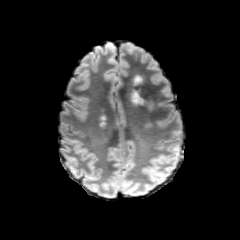
FLAIR magnetic resonance.
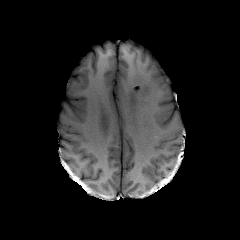
T1-weighted MRI.
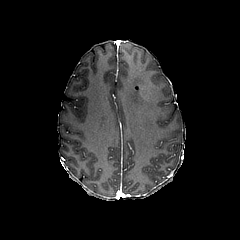
Post-contrast T1-weighted magnetic resonance.
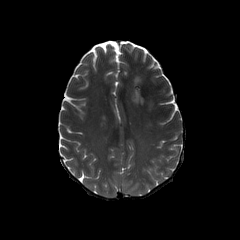
Same slice, T2-weighted MR.
Image size 240x240. Head. Axial plane.
2 peritumoral edema regions are located at {"x1": 132, "y1": 91, "x2": 141, "y2": 104}, {"x1": 134, "y1": 75, "x2": 142, "y2": 83}.